FLAIR MR image.
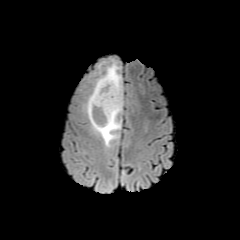
T1-weighted MRI.
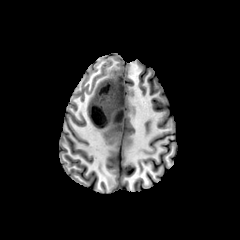
Post-contrast T1-weighted MR.
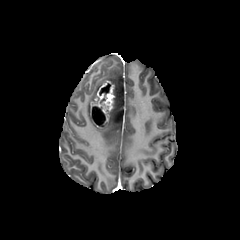
T2-weighted magnetic resonance.
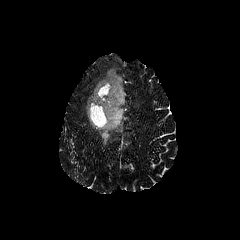
Image size 240x240.
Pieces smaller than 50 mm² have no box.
The peritumoral edema lies within box(85, 61, 123, 147). The 2 largest necrotic tumor core regions are bounded by box(92, 106, 105, 126); box(99, 83, 110, 103). The enhancing tumor is located at box(90, 81, 114, 127).